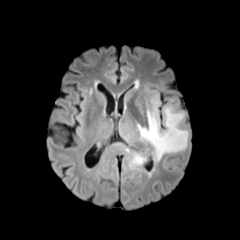
FLAIR MRI.
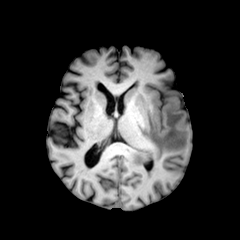
T1-weighted magnetic resonance.
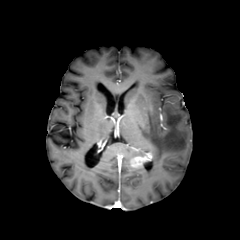
Post-contrast T1-weighted magnetic resonance.
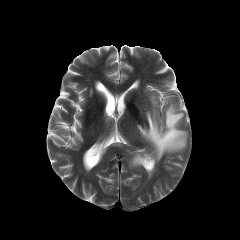
T2-weighted MRI of the same slice.
Head, Axial plane
enhancing tumor: bounding box l=131, t=153, r=151, b=167
peritumoral edema: bounding box l=137, t=101, r=188, b=161; l=129, t=153, r=145, b=168